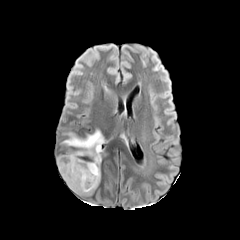
FLAIR magnetic resonance.
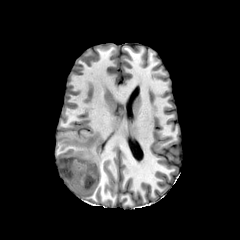
T1-weighted MRI.
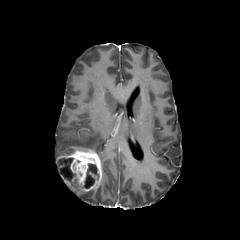
Post-contrast T1-weighted magnetic resonance of the same slice.
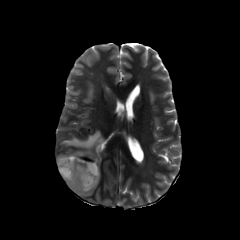
T2-weighted MR of the same slice.
Head.
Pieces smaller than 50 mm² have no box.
2 necrotic tumor core regions are bounded by {"x1": 83, "y1": 164, "x2": 99, "y2": 188}, {"x1": 57, "y1": 158, "x2": 79, "y2": 189}. The largest peritumoral edema region lies within {"x1": 61, "y1": 129, "x2": 104, "y2": 161}. The largest enhancing tumor region is bounded by {"x1": 56, "y1": 149, "x2": 101, "y2": 193}.